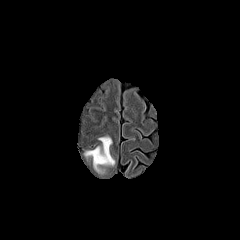
FLAIR MRI.
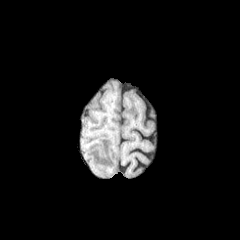
Same slice, T1-weighted MRI.
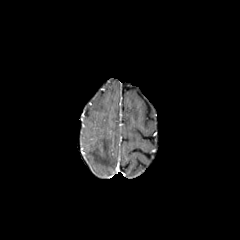
Same slice, post-contrast T1-weighted magnetic resonance.
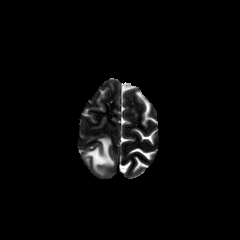
T2-weighted MR image.
240x240 px
Annotated regions:
• peritumoral edema: 85,136,114,172